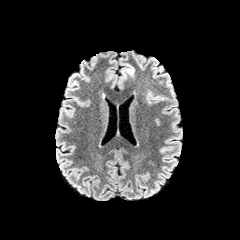
FLAIR magnetic resonance.
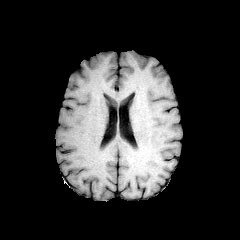
Same slice, T1-weighted MR image.
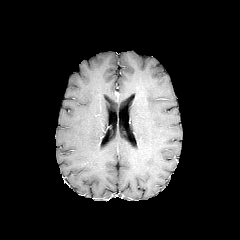
Post-contrast T1-weighted magnetic resonance.
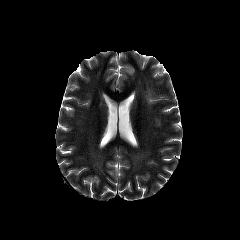
T2-weighted magnetic resonance of the same slice.
The peritumoral edema lies within bbox=[122, 65, 134, 76].